FLAIR MR.
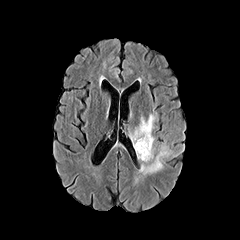
T1-weighted MR image.
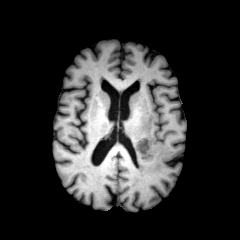
Post-contrast T1-weighted MRI.
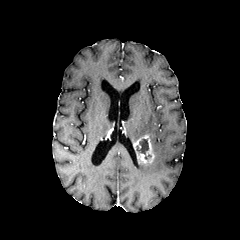
T2-weighted magnetic resonance.
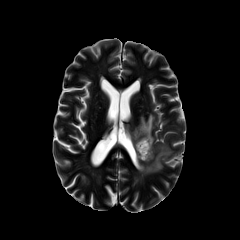
Axial view. Brain.
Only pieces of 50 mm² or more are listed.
* necrotic tumor core: (left=136, top=139, right=148, bottom=154)
* peritumoral edema: (left=129, top=112, right=157, bottom=147), (left=134, top=143, right=173, bottom=184)
* enhancing tumor: (left=133, top=135, right=154, bottom=163)